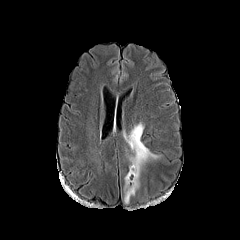
FLAIR MR image.
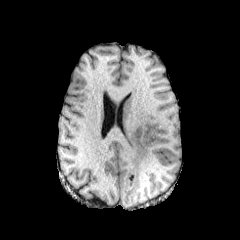
Same slice, T1-weighted MRI.
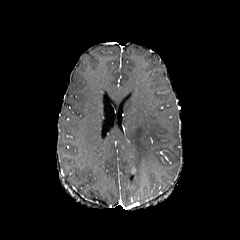
Post-contrast T1-weighted MR.
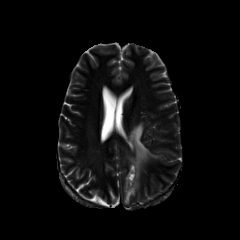
T2-weighted MR image of the same slice.
240x240. Axial view.
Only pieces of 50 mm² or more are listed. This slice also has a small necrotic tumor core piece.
enhancing tumor — [x1=127, y1=166, x2=136, y2=186]
peritumoral edema — [x1=124, y1=123, x2=157, y2=203]